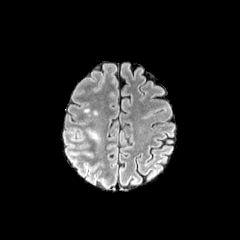
FLAIR MR.
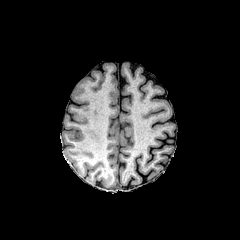
T1-weighted magnetic resonance.
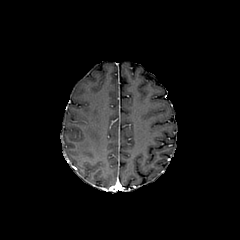
Same slice, post-contrast T1-weighted MR.
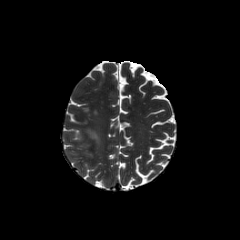
T2-weighted MRI of the same slice.
2 peritumoral edema regions appear at box(92, 105, 102, 116); box(88, 130, 99, 141).